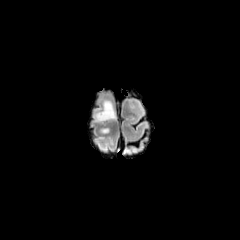
FLAIR MRI.
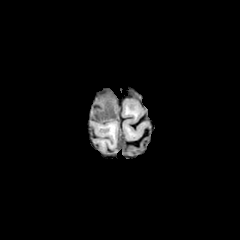
T1-weighted MR image of the same slice.
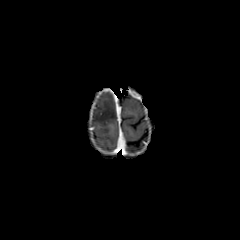
Post-contrast T1-weighted magnetic resonance.
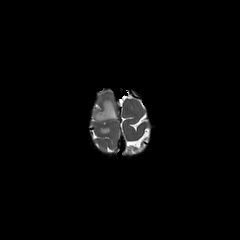
T2-weighted MR image.
240x240 px
{"peritumoral_edema": ["[x1=99, y1=128, x2=109, y2=133]", "[x1=93, y1=97, x2=116, y2=123]"]}